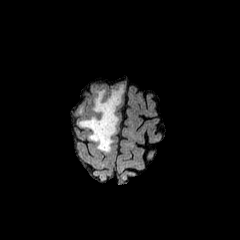
FLAIR MRI.
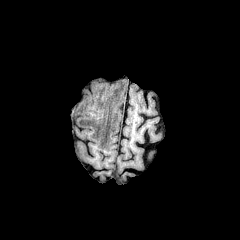
T1-weighted magnetic resonance.
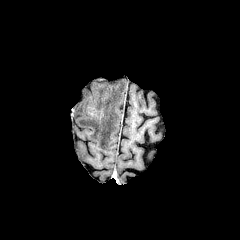
Post-contrast T1-weighted magnetic resonance.
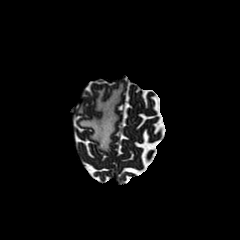
T2-weighted MRI.
Image size 240x240; Head
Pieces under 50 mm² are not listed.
Annotated regions:
* peritumoral edema: (x1=78, y1=85, x2=123, y2=152)